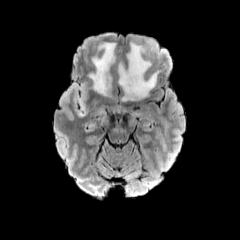
FLAIR MRI.
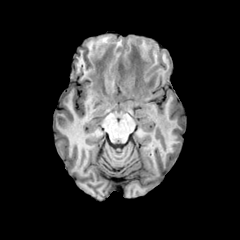
Same slice, T1-weighted MRI.
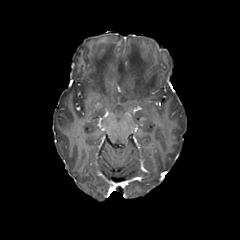
Post-contrast T1-weighted MR image.
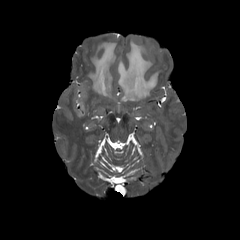
Same slice, T2-weighted MR image.
Brain
peritumoral edema: [x1=118, y1=41, x2=159, y2=101], [x1=88, y1=42, x2=115, y2=94], [x1=61, y1=83, x2=89, y2=116]